Axial slice. Image width 240 mm. Slice 75 of 155.
FLAIR magnetic resonance.
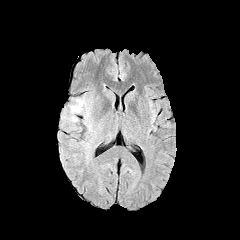
T1-weighted MR image.
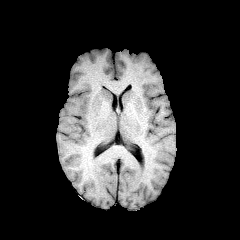
Post-contrast T1-weighted MRI.
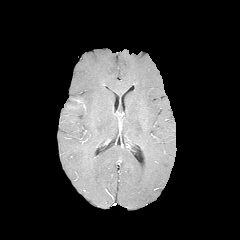
T2-weighted MR image.
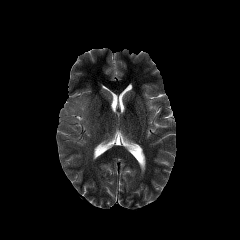
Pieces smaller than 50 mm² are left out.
peritumoral edema: 61:96:91:131